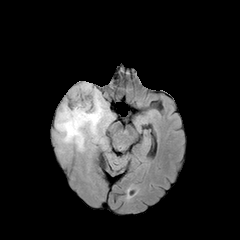
FLAIR MR image.
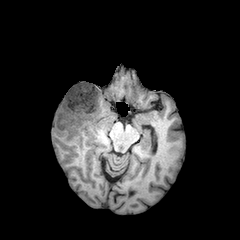
T1-weighted MR image of the same slice.
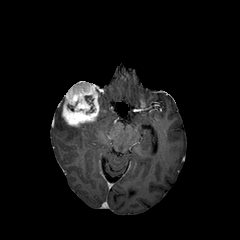
Same slice, post-contrast T1-weighted magnetic resonance.
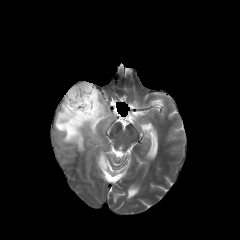
T2-weighted MR image.
240x240 px
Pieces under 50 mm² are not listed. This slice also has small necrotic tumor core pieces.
The largest peritumoral edema region is located at 55,88,112,151. The enhancing tumor appears at 62,81,99,127.